FLAIR MR image.
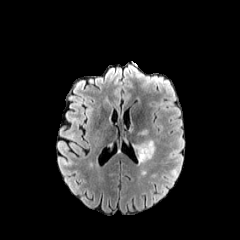
T1-weighted magnetic resonance.
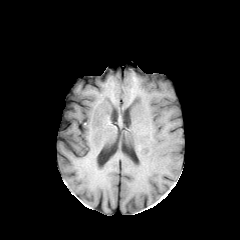
Post-contrast T1-weighted MR image.
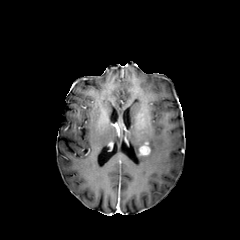
T2-weighted MRI.
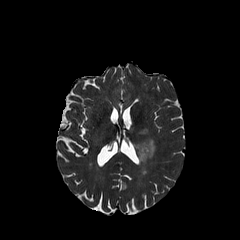
Brain
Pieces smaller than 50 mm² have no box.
Findings:
* enhancing tumor: (left=139, top=142, right=150, bottom=155)
* peritumoral edema: (left=135, top=140, right=155, bottom=162)